FLAIR MR image.
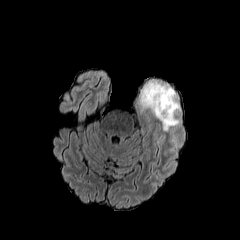
T1-weighted MR image.
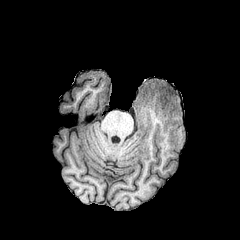
Post-contrast T1-weighted MRI.
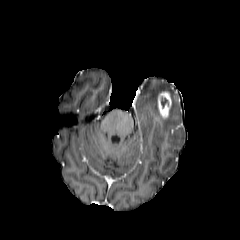
T2-weighted MRI.
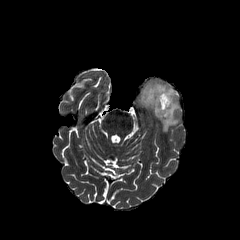
Brain. Axial view.
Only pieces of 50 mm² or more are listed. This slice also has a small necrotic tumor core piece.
enhancing tumor: bounding box <bbox>157, 91, 171, 118</bbox>
peritumoral edema: bounding box <bbox>140, 81, 180, 131</bbox>